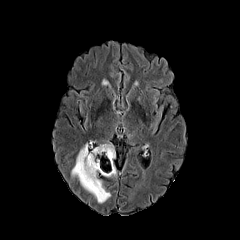
FLAIR MR.
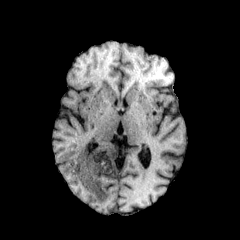
T1-weighted MRI of the same slice.
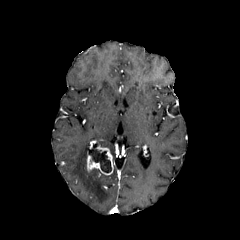
Post-contrast T1-weighted MRI.
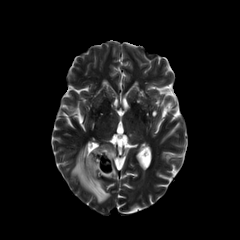
T2-weighted MR image of the same slice.
Axial slice; 240x240 px
enhancing tumor at 87:146:113:175
necrotic tumor core at 91:149:111:172
peritumoral edema at 100:142:117:177, 71:142:110:203